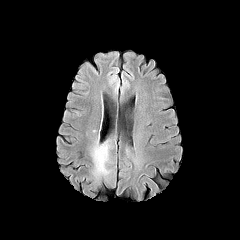
FLAIR MRI.
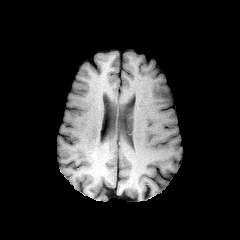
Same slice, T1-weighted MR image.
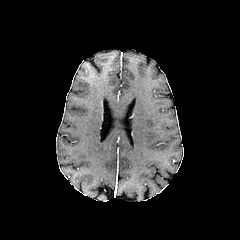
Post-contrast T1-weighted magnetic resonance.
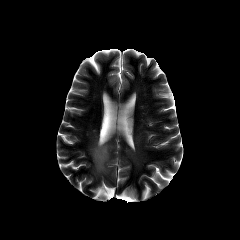
Same slice, T2-weighted MR image.
The peritumoral edema is bounded by (left=93, top=146, right=107, bottom=174).